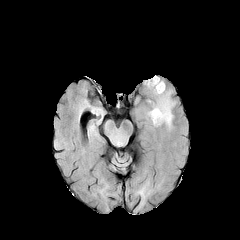
FLAIR MR image.
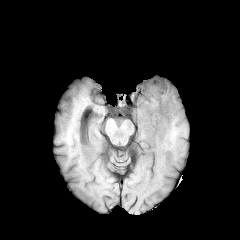
T1-weighted MRI of the same slice.
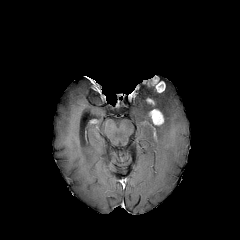
Post-contrast T1-weighted magnetic resonance of the same slice.
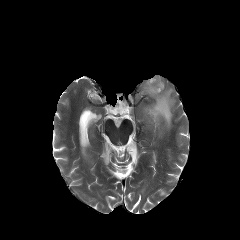
Same slice, T2-weighted MR.
Brain
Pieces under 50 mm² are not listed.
The largest peritumoral edema region lies within bbox=[145, 84, 174, 128]. The 3 largest enhancing tumor regions are bounded by bbox=[155, 81, 165, 92]; bbox=[149, 109, 163, 125]; bbox=[144, 76, 160, 87].